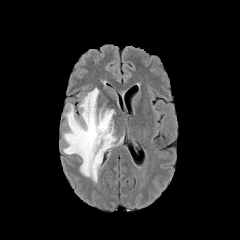
FLAIR MR image.
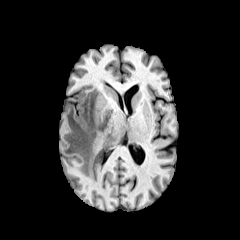
T1-weighted magnetic resonance.
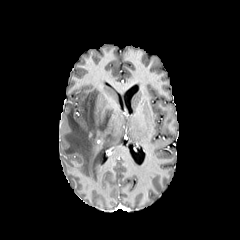
Post-contrast T1-weighted magnetic resonance of the same slice.
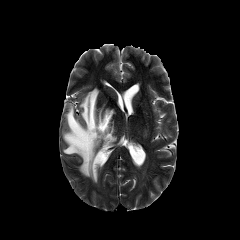
T2-weighted magnetic resonance.
Head, 240x240
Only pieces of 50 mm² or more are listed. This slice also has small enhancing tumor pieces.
The largest peritumoral edema region is located at region(63, 88, 116, 182).